Brain, Axial plane
FLAIR magnetic resonance.
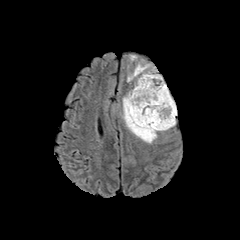
T1-weighted magnetic resonance.
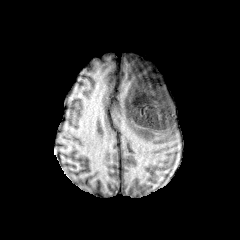
Post-contrast T1-weighted MR.
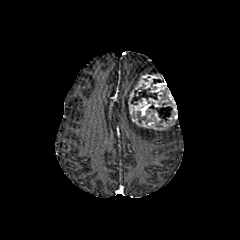
T2-weighted magnetic resonance.
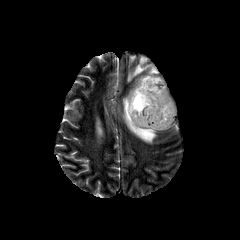
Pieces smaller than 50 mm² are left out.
peritumoral edema: bounding box (x1=123, y1=94, x2=156, y2=143), (x1=127, y1=60, x2=155, y2=81)
necrotic tumor core: bounding box (x1=131, y1=88, x2=157, y2=103), (x1=149, y1=105, x2=172, y2=122)
enhancing tumor: bounding box (x1=128, y1=73, x2=177, y2=130)